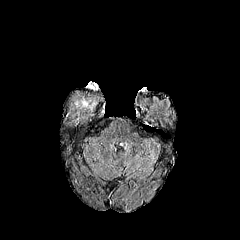
FLAIR MR.
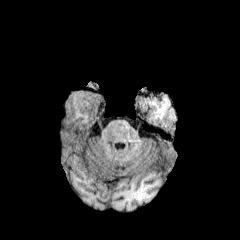
Same slice, T1-weighted magnetic resonance.
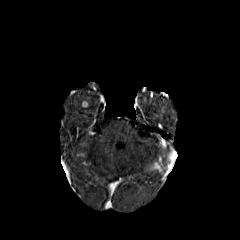
Same slice, post-contrast T1-weighted MR image.
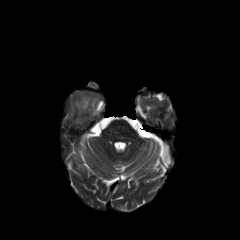
T2-weighted MR.
240x240 px.
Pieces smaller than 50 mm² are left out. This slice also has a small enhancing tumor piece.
The peritumoral edema lies within {"x1": 70, "y1": 92, "x2": 100, "y2": 111}.